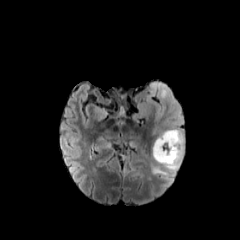
FLAIR MRI.
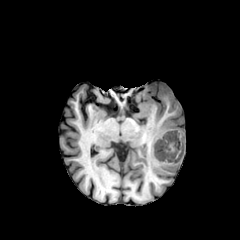
Same slice, T1-weighted MR image.
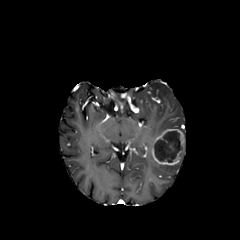
Post-contrast T1-weighted magnetic resonance.
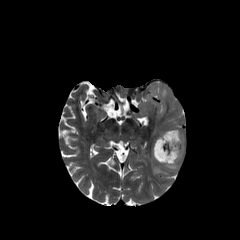
T2-weighted MRI of the same slice.
Head. Axial view.
<segmentation>
  <peritumoral_edema>134,81,184,136; 152,159,181,175</peritumoral_edema>
  <enhancing_tumor>152,129,184,165</enhancing_tumor>
  <necrotic_tumor_core>154,131,182,162</necrotic_tumor_core>
</segmentation>